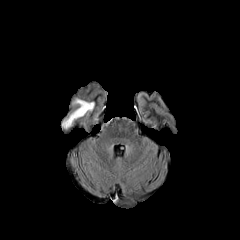
FLAIR MR image.
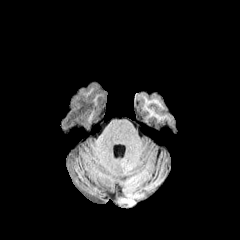
T1-weighted magnetic resonance.
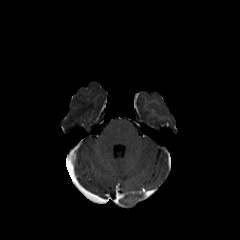
Post-contrast T1-weighted magnetic resonance of the same slice.
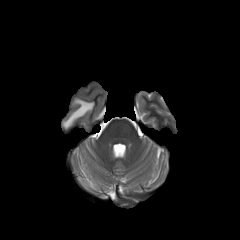
T2-weighted MR image.
Image size 240x240, Brain
peritumoral edema: bounding box box(63, 99, 94, 128)